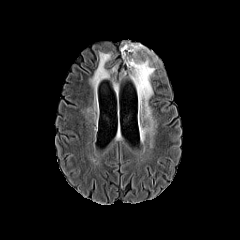
FLAIR MR.
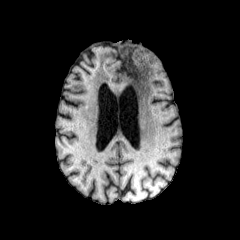
T1-weighted MR image of the same slice.
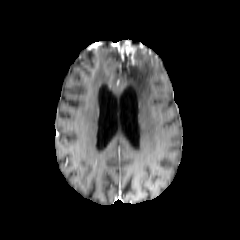
Post-contrast T1-weighted magnetic resonance of the same slice.
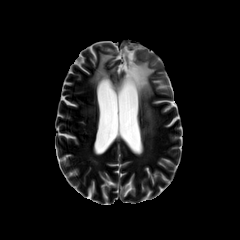
T2-weighted magnetic resonance.
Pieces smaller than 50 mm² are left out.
enhancing tumor — x1=120, y1=42, x2=136, y2=64
peritumoral edema — x1=124, y1=43, x2=155, y2=138; x1=90, y1=52, x2=116, y2=89